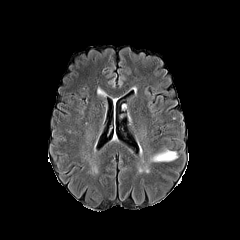
FLAIR MR image.
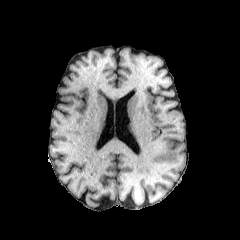
T1-weighted MRI of the same slice.
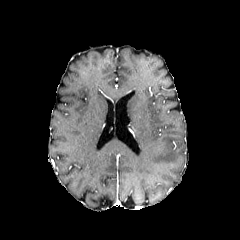
Post-contrast T1-weighted magnetic resonance.
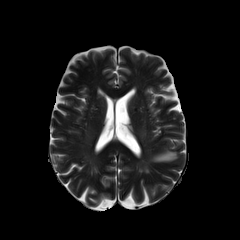
T2-weighted MR image of the same slice.
Brain | Axial slice
peritumoral edema = (150, 149, 177, 161)